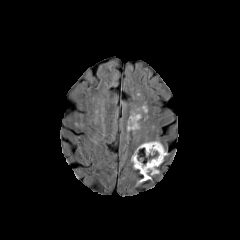
FLAIR magnetic resonance.
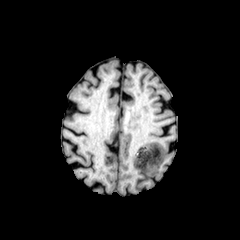
T1-weighted MRI.
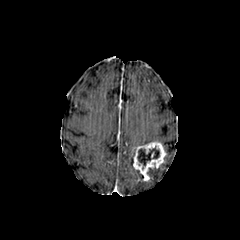
Post-contrast T1-weighted magnetic resonance.
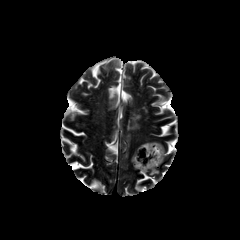
T2-weighted MR.
Head; Axial slice
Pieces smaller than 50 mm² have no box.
The necrotic tumor core is at box=[137, 148, 159, 165]. The largest enhancing tumor region appears at box=[133, 141, 166, 180]. The largest peritumoral edema region is bounded by box=[148, 168, 159, 179].